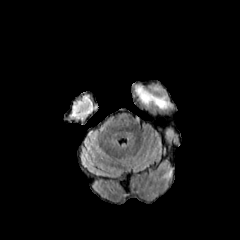
FLAIR MRI.
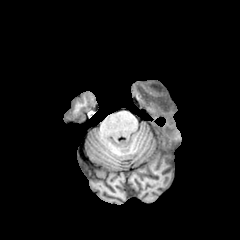
T1-weighted MR.
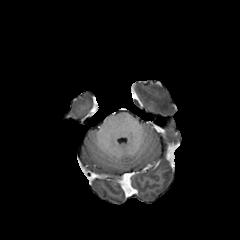
Post-contrast T1-weighted magnetic resonance.
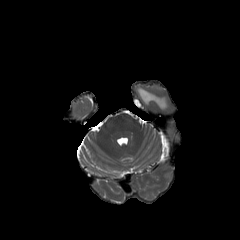
Same slice, T2-weighted MR.
Image size 240x240. Brain.
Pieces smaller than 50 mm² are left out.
Findings:
• peritumoral edema: 136:86:169:109